Slice 75 of 155
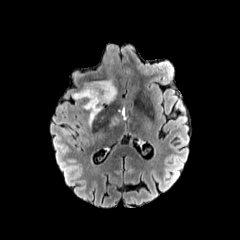
FLAIR MRI.
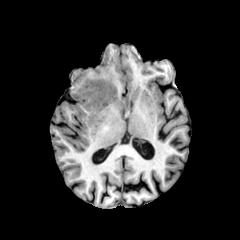
T1-weighted MRI.
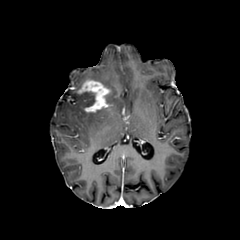
Same slice, post-contrast T1-weighted magnetic resonance.
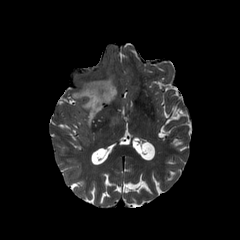
T2-weighted magnetic resonance of the same slice.
The enhancing tumor is located at box=[77, 80, 110, 112]. 4 peritumoral edema regions are located at box=[108, 115, 118, 127]; box=[99, 80, 116, 104]; box=[88, 110, 100, 126]; box=[72, 92, 94, 108].